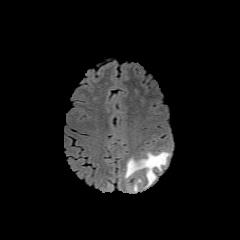
FLAIR MR.
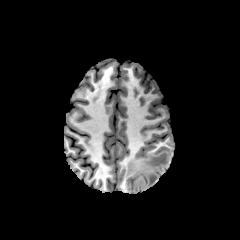
T1-weighted MRI of the same slice.
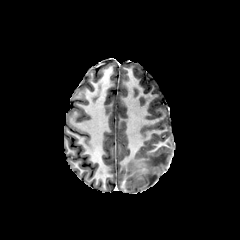
Post-contrast T1-weighted MR.
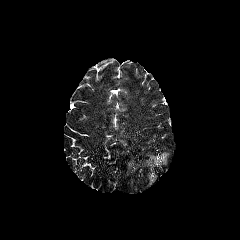
T2-weighted magnetic resonance.
240x240 | Head
peritumoral edema = <bbox>124, 151, 170, 188</bbox>, <bbox>133, 178, 142, 191</bbox>